Axial slice. Head.
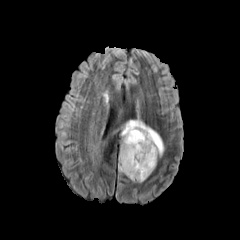
FLAIR magnetic resonance.
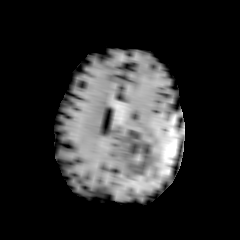
T1-weighted MRI of the same slice.
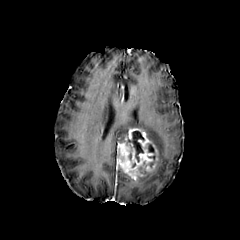
Post-contrast T1-weighted MRI of the same slice.
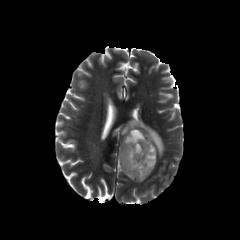
T2-weighted MR.
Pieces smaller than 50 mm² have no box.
The enhancing tumor is at [x1=117, y1=128, x2=158, y2=180]. The largest necrotic tumor core region is at [x1=127, y1=131, x2=144, y2=161]. The 2 largest peritumoral edema regions are bounded by [x1=129, y1=174, x2=149, y2=182], [x1=121, y1=116, x2=164, y2=157].